FLAIR MR.
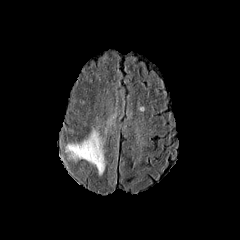
T1-weighted magnetic resonance.
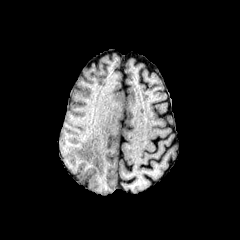
Post-contrast T1-weighted MRI.
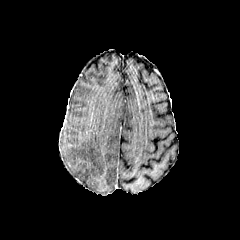
T2-weighted MRI.
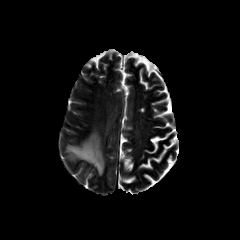
Axial slice. Head.
The peritumoral edema is located at (x1=66, y1=130, x2=104, y2=175).